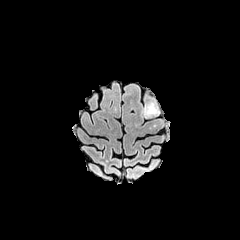
FLAIR magnetic resonance.
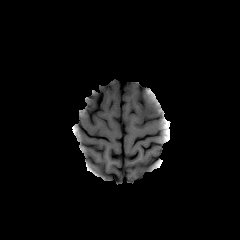
T1-weighted magnetic resonance of the same slice.
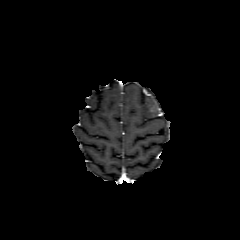
Post-contrast T1-weighted MRI.
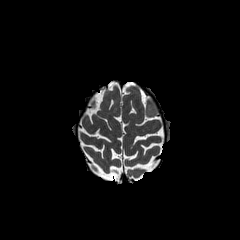
T2-weighted magnetic resonance.
{
  "peritumoral_edema": [
    "144,103,157,113"
  ]
}